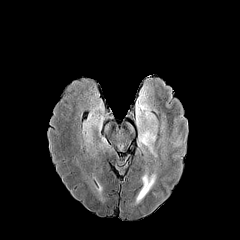
FLAIR magnetic resonance.
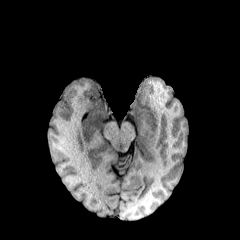
Same slice, T1-weighted MR image.
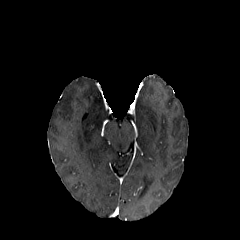
Post-contrast T1-weighted MRI of the same slice.
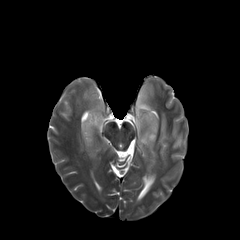
T2-weighted MRI.
Brain | Axial plane
peritumoral edema: x1=136, y1=86, x2=157, y2=154; x1=82, y1=102, x2=108, y2=148